240x240. Axial view. Brain. Slice 78 of 155.
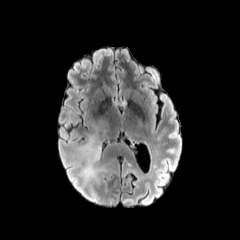
FLAIR magnetic resonance.
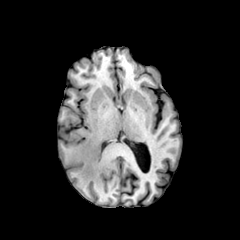
Same slice, T1-weighted magnetic resonance.
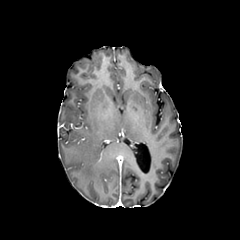
Post-contrast T1-weighted magnetic resonance.
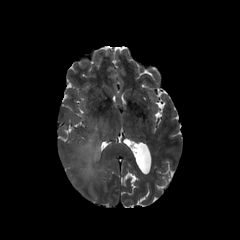
Same slice, T2-weighted MR image.
peritumoral edema = [78,134,105,181]